FLAIR MR image.
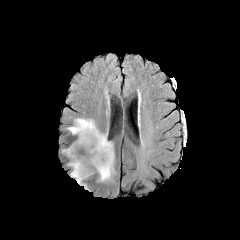
T1-weighted MR image.
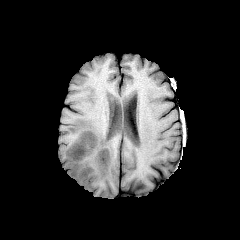
Post-contrast T1-weighted MR.
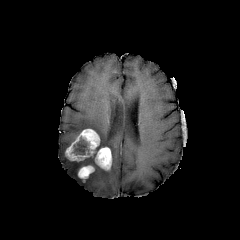
T2-weighted MRI.
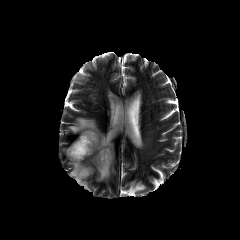
Head. Axial plane.
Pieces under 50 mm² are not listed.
enhancing tumor — l=65, t=129, r=99, b=161; l=77, t=165, r=94, b=179; l=95, t=147, r=111, b=170
peritumoral edema — l=67, t=118, r=115, b=190
necrotic tumor core — l=73, t=138, r=88, b=154